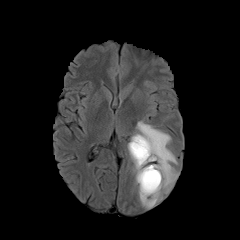
FLAIR MR image.
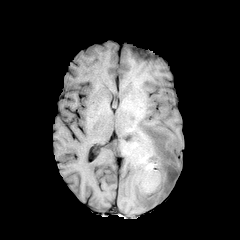
T1-weighted MR of the same slice.
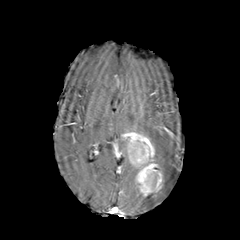
Post-contrast T1-weighted MR.
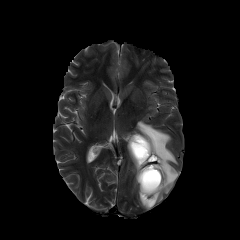
T2-weighted magnetic resonance of the same slice.
Axial slice.
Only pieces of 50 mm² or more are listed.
2 enhancing tumor regions appear at [136, 163, 163, 197], [129, 133, 154, 167]. The 2 largest necrotic tumor core regions appear at [143, 169, 157, 189], [136, 141, 146, 156]. The largest peritumoral edema region is located at [132, 120, 179, 208].